Image covers 240 mm x 240 mm; Axial plane
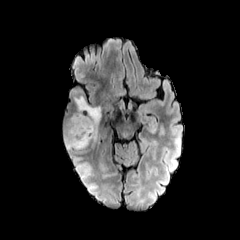
FLAIR magnetic resonance.
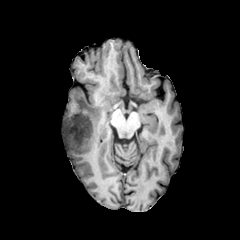
T1-weighted MRI.
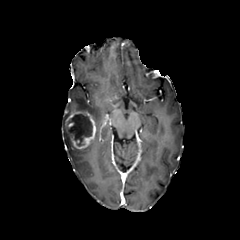
Post-contrast T1-weighted MR image of the same slice.
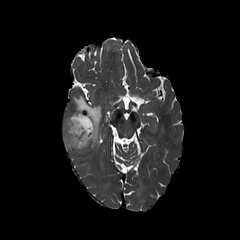
T2-weighted MR of the same slice.
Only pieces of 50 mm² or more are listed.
The largest enhancing tumor region is located at (65, 111, 96, 149). The 2 largest peritumoral edema regions appear at (63, 112, 85, 151), (74, 95, 101, 146). The necrotic tumor core appears at (67, 113, 92, 146).